FLAIR MR image.
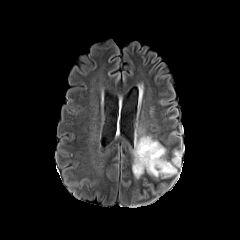
T1-weighted MR image.
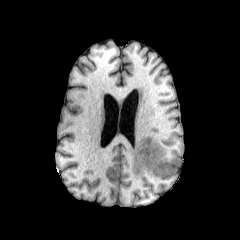
Post-contrast T1-weighted MRI.
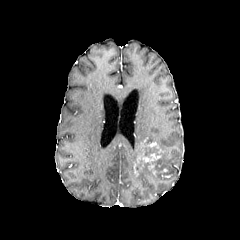
T2-weighted MR image.
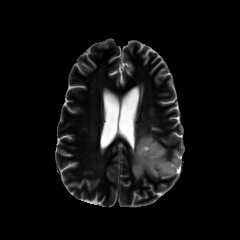
Axial plane, Brain
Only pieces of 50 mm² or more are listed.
peritumoral edema: region(132, 135, 180, 178)
enhancing tumor: region(134, 138, 163, 175)
necrotic tumor core: region(152, 158, 162, 172); region(142, 147, 158, 155)